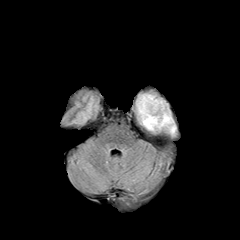
FLAIR MRI.
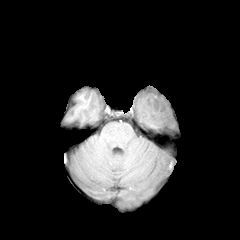
Same slice, T1-weighted magnetic resonance.
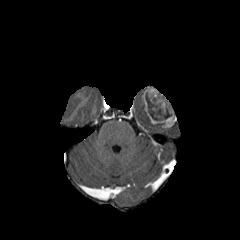
Post-contrast T1-weighted MRI.
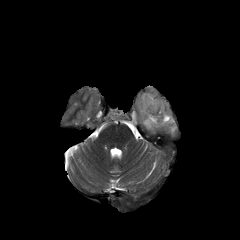
T2-weighted MR.
Axial plane.
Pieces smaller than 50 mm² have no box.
Annotated regions:
* peritumoral edema: 136 94 161 129, 166 124 176 134
* enhancing tumor: 141 87 176 128
* necrotic tumor core: 145 93 171 120